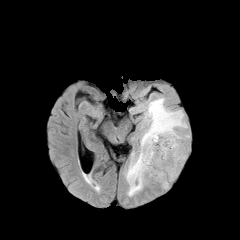
FLAIR MRI.
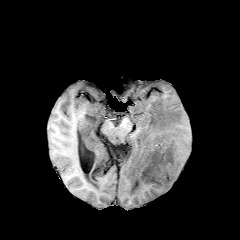
T1-weighted MRI of the same slice.
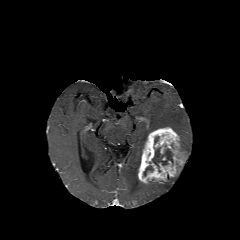
Post-contrast T1-weighted MR image of the same slice.
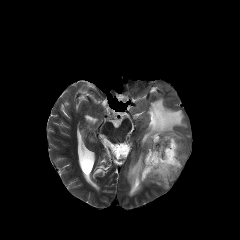
T2-weighted MRI of the same slice.
Axial view | Brain | Image size 240x240
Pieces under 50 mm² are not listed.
peritumoral edema = l=125, t=97, r=189, b=196
enhancing tumor = l=137, t=127, r=186, b=183
necrotic tumor core = l=152, t=147, r=173, b=166